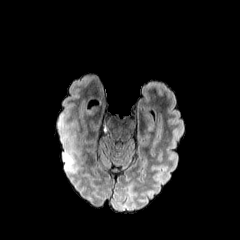
FLAIR MR image.
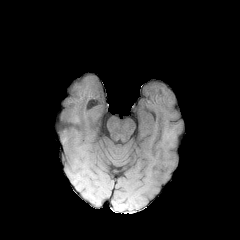
T1-weighted MR image of the same slice.
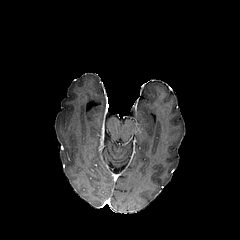
Post-contrast T1-weighted MR of the same slice.
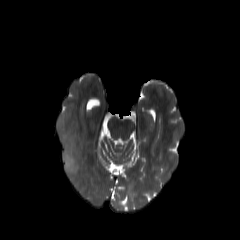
T2-weighted MRI of the same slice.
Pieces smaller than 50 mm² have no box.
The 2 largest peritumoral edema regions appear at (61,133,67,142), (62,137,78,173).